Slice index 87. 240x240. Axial plane.
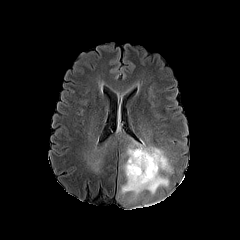
FLAIR MR image.
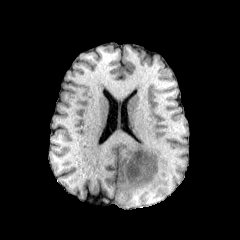
T1-weighted MR.
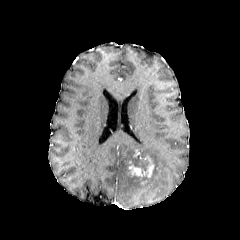
Same slice, post-contrast T1-weighted MRI.
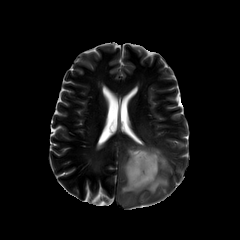
T2-weighted MR image of the same slice.
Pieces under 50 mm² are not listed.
<segmentation>
  <enhancing_tumor>128 156 153 177</enhancing_tumor>
  <peritumoral_edema>120 141 172 203</peritumoral_edema>
  <necrotic_tumor_core>129 152 148 173, 128 173 150 181</necrotic_tumor_core>
</segmentation>